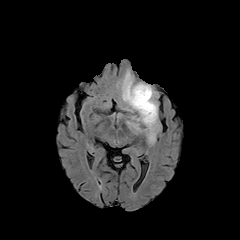
FLAIR magnetic resonance.
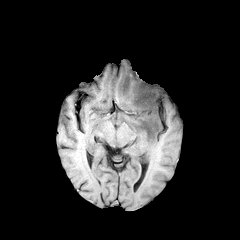
T1-weighted MR image.
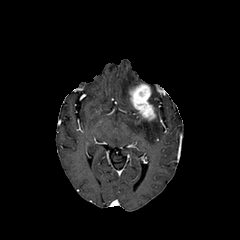
Same slice, post-contrast T1-weighted MR image.
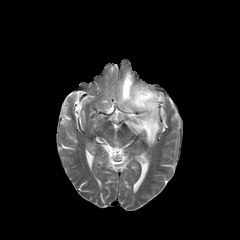
Same slice, T2-weighted MR.
Axial slice. Brain.
peritumoral edema: 127,87,159,144; 117,70,136,111 | enhancing tumor: 129,83,156,121